Slice 48 of 155. Image size 240x240. Brain.
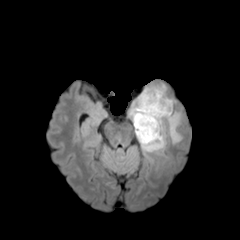
FLAIR MR image.
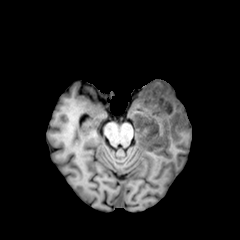
T1-weighted MRI.
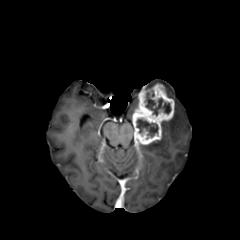
Post-contrast T1-weighted MRI.
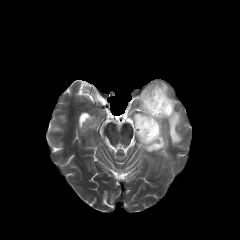
Same slice, T2-weighted MRI.
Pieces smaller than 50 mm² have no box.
{"peritumoral_edema": ["[x1=138, y1=110, x2=182, y2=152]", "[x1=129, y1=98, x2=138, y2=118]"], "necrotic_tumor_core": ["[x1=136, y1=119, x2=158, y2=136]", "[x1=146, y1=93, x2=170, y2=115]"], "enhancing_tumor": ["[x1=132, y1=83, x2=174, y2=144]"]}